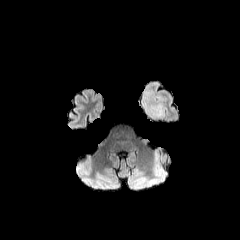
FLAIR MRI.
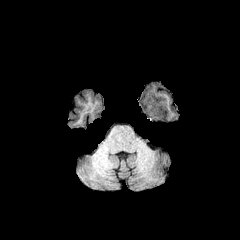
T1-weighted MRI.
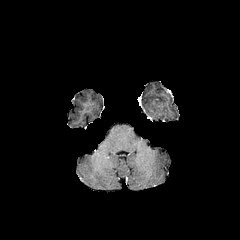
Same slice, post-contrast T1-weighted MR image.
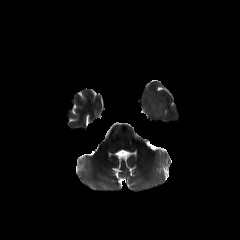
T2-weighted MR image of the same slice.
peritumoral edema — x1=141, y1=95, x2=164, y2=120